Head | 240x240 px
FLAIR MR image.
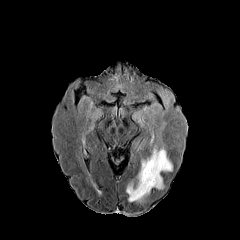
T1-weighted magnetic resonance.
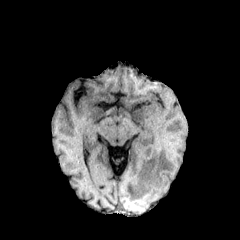
Post-contrast T1-weighted MR image.
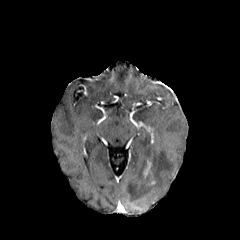
T2-weighted MR image.
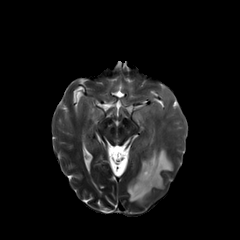
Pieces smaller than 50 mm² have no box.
{
  "enhancing_tumor": [
    "(143,160,152,178)"
  ],
  "peritumoral_edema": [
    "(127,86,183,202)"
  ]
}